Image covers 240 mm x 240 mm
FLAIR MR.
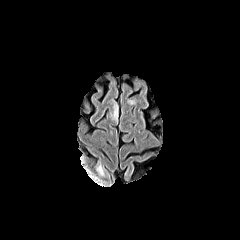
T1-weighted MRI.
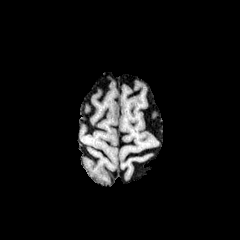
Post-contrast T1-weighted MR.
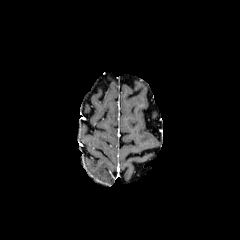
T2-weighted MR image.
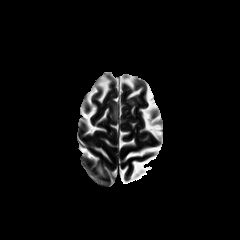
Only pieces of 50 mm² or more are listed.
The 2 largest peritumoral edema regions appear at x1=109, y1=98, x2=118, y2=123; x1=94, y1=160, x2=105, y2=176.